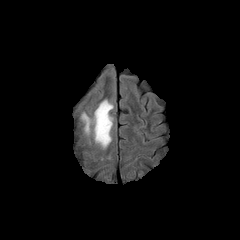
FLAIR MRI.
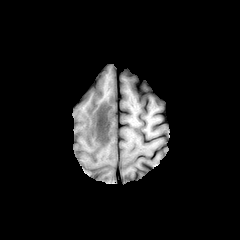
T1-weighted MRI.
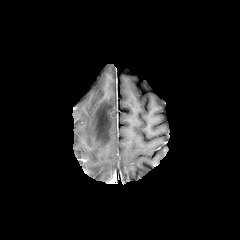
Post-contrast T1-weighted magnetic resonance.
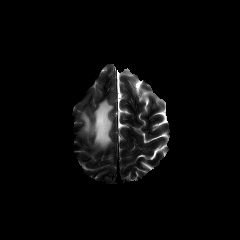
T2-weighted magnetic resonance of the same slice.
Axial plane
Segmented structures:
• peritumoral edema: l=81, t=100, r=113, b=148